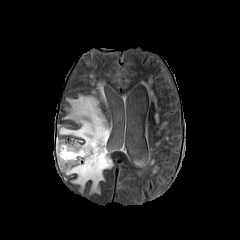
FLAIR MR image.
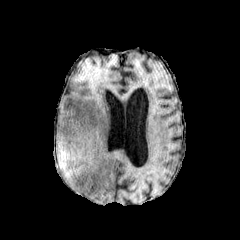
Same slice, T1-weighted magnetic resonance.
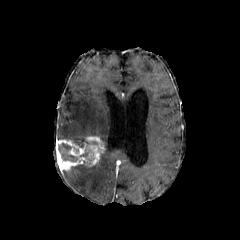
Post-contrast T1-weighted magnetic resonance of the same slice.
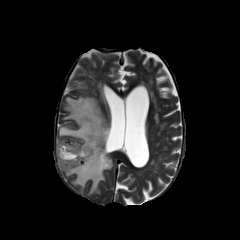
T2-weighted MRI of the same slice.
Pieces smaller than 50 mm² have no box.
necrotic tumor core = x1=58, y1=143, x2=77, y2=161
enhancing tumor = x1=56, y1=136, x2=104, y2=171
peritumoral edema = x1=59, y1=95, x2=113, y2=193